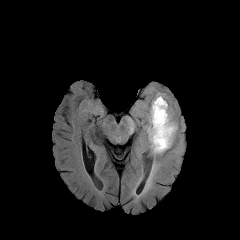
FLAIR MR image.
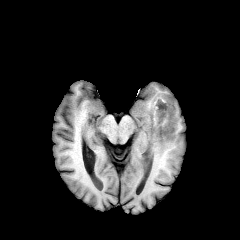
Same slice, T1-weighted MR.
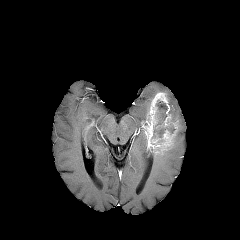
Post-contrast T1-weighted magnetic resonance of the same slice.
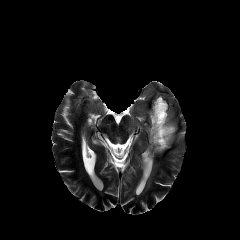
T2-weighted magnetic resonance of the same slice.
Head; Axial slice
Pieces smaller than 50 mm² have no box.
Findings:
* enhancing tumor: (144,92,177,153)
* necrotic tumor core: (154,100,175,137)
* peritumoral edema: (126,120,134,131), (146,136,166,188)